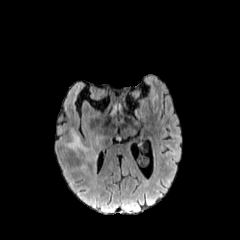
FLAIR MRI.
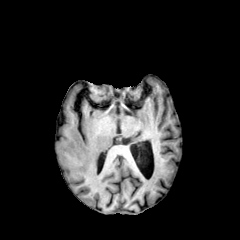
T1-weighted MR.
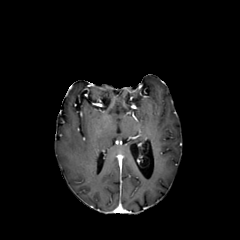
Post-contrast T1-weighted magnetic resonance of the same slice.
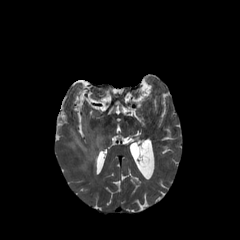
T2-weighted magnetic resonance.
Head; 240x240 px
peritumoral edema: (68, 132, 103, 172)